FLAIR MR image.
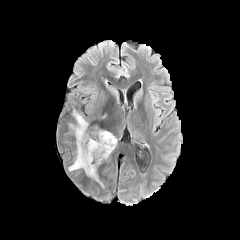
T1-weighted magnetic resonance.
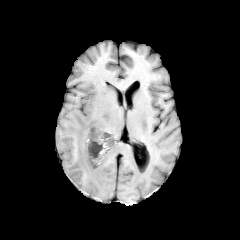
Post-contrast T1-weighted magnetic resonance.
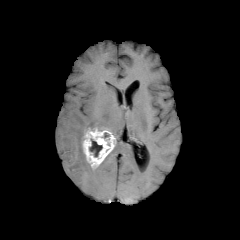
T2-weighted MR image.
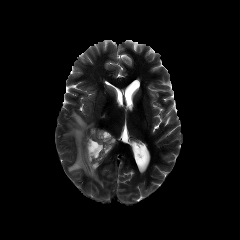
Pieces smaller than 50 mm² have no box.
enhancing tumor at (82, 122, 116, 169)
necrotic tumor core at (89, 139, 102, 156)
peritumoral edema at (68, 110, 105, 188)